FLAIR MRI.
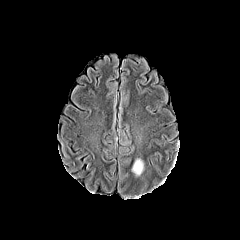
T1-weighted MRI.
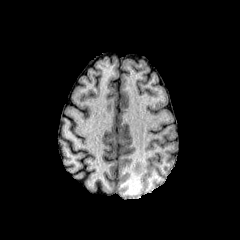
Post-contrast T1-weighted magnetic resonance.
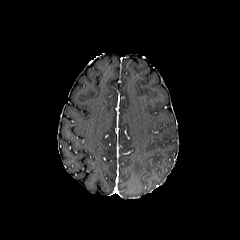
T2-weighted MR.
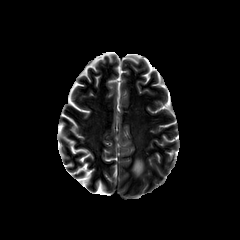
Axial view. 240x240 px. Brain.
peritumoral edema: bounding box l=132, t=159, r=143, b=175